FLAIR MRI.
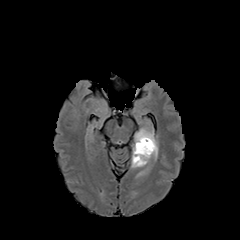
T1-weighted MR.
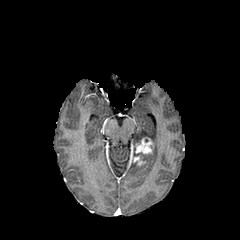
Post-contrast T1-weighted MRI.
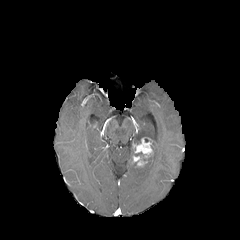
T2-weighted magnetic resonance.
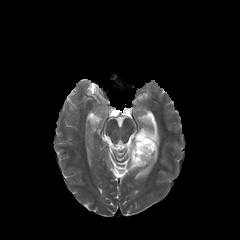
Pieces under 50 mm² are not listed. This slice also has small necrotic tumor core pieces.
peritumoral edema = x1=131 y1=127 x2=158 y2=178
enhancing tumor = x1=132 y1=137 x2=153 y2=166